FLAIR MR image.
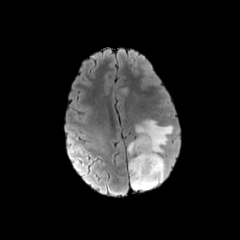
T1-weighted MR.
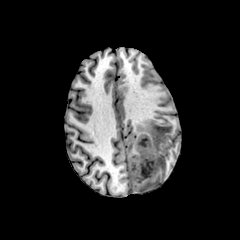
Post-contrast T1-weighted MR image.
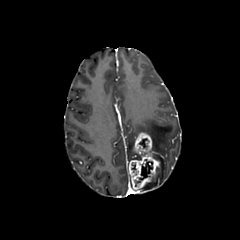
T2-weighted magnetic resonance.
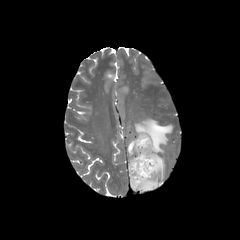
Head. Axial slice.
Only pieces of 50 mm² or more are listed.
enhancing tumor: [128,132,159,189]
necrotic tumor core: [135,159,152,186], [139,138,147,148]
peritumoral edema: [135,119,172,190], [128,140,135,155]